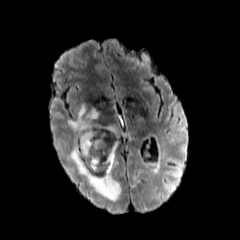
FLAIR MRI.
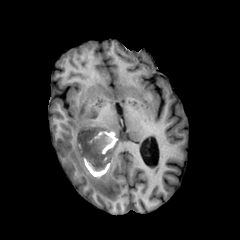
Same slice, T1-weighted MR image.
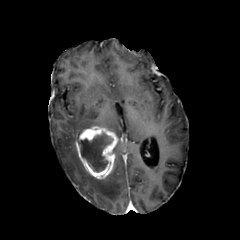
Post-contrast T1-weighted MRI.
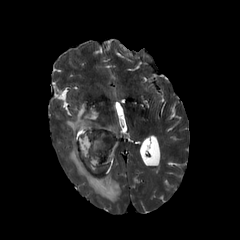
T2-weighted MRI of the same slice.
Brain
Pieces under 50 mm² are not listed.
The necrotic tumor core is at [x1=78, y1=133, x2=113, y2=172]. The 2 largest peritumoral edema regions appear at [x1=68, y1=104, x2=117, y2=141], [x1=68, y1=146, x2=120, y2=201]. The enhancing tumor appears at [x1=75, y1=126, x2=117, y2=178].